240x240, Axial plane, Head
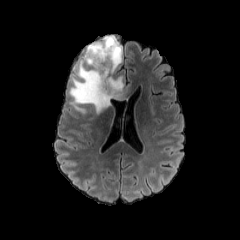
FLAIR MR.
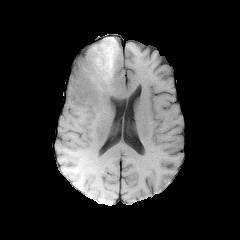
T1-weighted MR image.
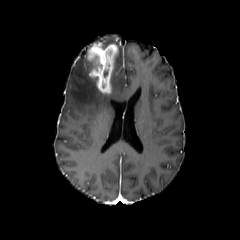
Post-contrast T1-weighted MR image.
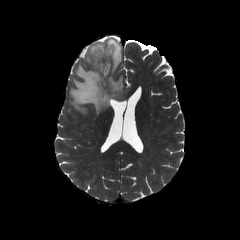
T2-weighted MR.
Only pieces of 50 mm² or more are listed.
The 2 largest peritumoral edema regions are located at [69,43,131,114], [101,36,122,74]. The enhancing tumor is bounded by [86,42,118,94]. The largest necrotic tumor core region lies within [93,54,102,71].